Axial view | Slice 77/155 | Image size 240x240 | Head
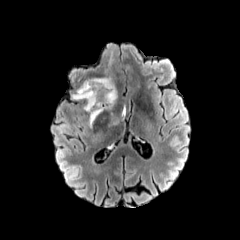
FLAIR MRI.
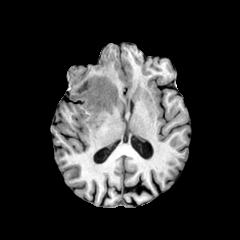
Same slice, T1-weighted MR.
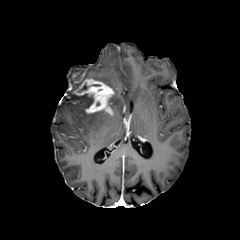
Post-contrast T1-weighted MR.
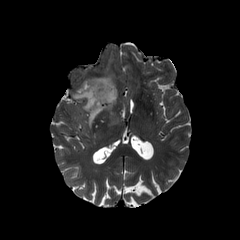
T2-weighted MRI.
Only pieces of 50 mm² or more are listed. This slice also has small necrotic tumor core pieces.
Segmented structures:
* enhancing tumor: box=[73, 78, 114, 113]
* peritumoral edema: box=[71, 93, 93, 109]; box=[105, 115, 119, 127]; box=[88, 110, 104, 127]; box=[93, 77, 117, 108]